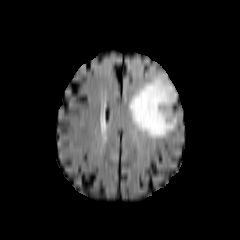
FLAIR MR image.
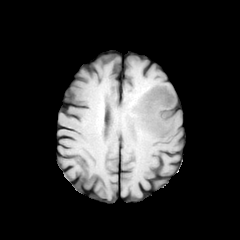
T1-weighted magnetic resonance of the same slice.
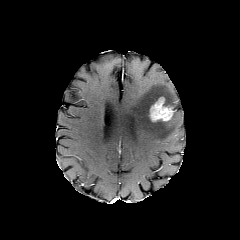
Same slice, post-contrast T1-weighted MR.
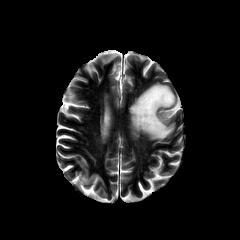
T2-weighted MR image of the same slice.
Axial slice. Brain.
enhancing tumor at (149,97,173,121)
peritumoral edema at (129,78,175,139)